FLAIR MR image.
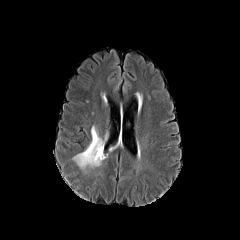
T1-weighted MR.
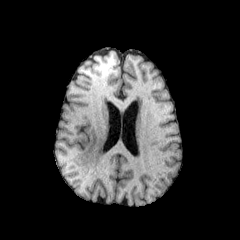
Post-contrast T1-weighted MR image.
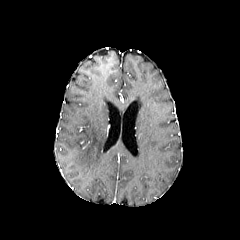
T2-weighted magnetic resonance.
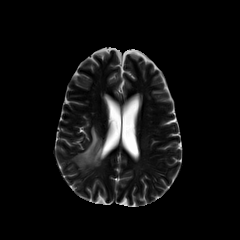
Brain; Axial slice; 240x240 px
* peritumoral edema: box(73, 126, 108, 171)